Brain
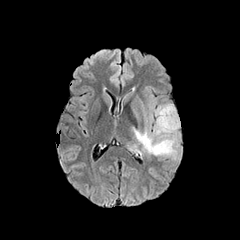
FLAIR MR.
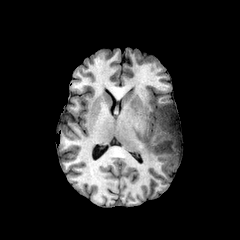
T1-weighted MRI.
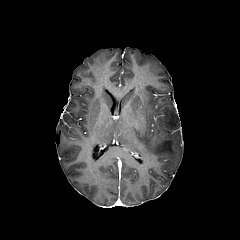
Same slice, post-contrast T1-weighted magnetic resonance.
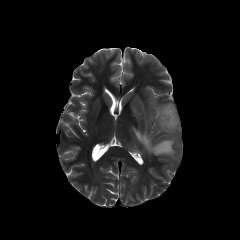
T2-weighted MR.
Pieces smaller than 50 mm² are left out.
peritumoral_edema:
  - [129,103,180,159]